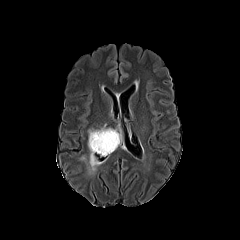
FLAIR MRI.
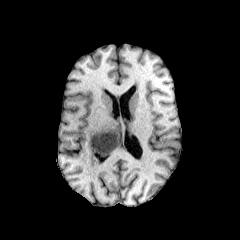
T1-weighted MR image.
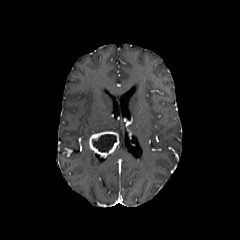
Post-contrast T1-weighted MRI.
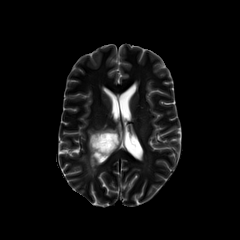
T2-weighted MR.
Brain
{"necrotic_tumor_core": ["92,134,116,152"], "peritumoral_edema": ["87,123,121,145", "80,149,102,174"], "enhancing_tumor": ["89,131,119,157"]}